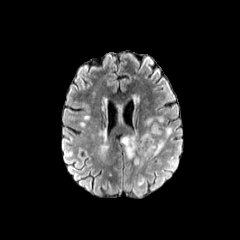
FLAIR magnetic resonance.
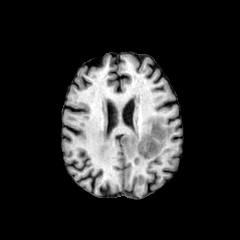
T1-weighted magnetic resonance.
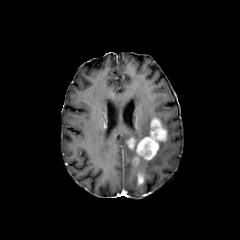
Post-contrast T1-weighted MRI.
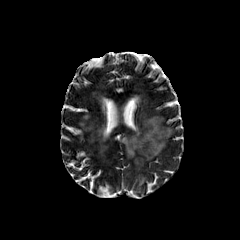
T2-weighted MRI of the same slice.
240x240
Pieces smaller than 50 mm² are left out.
The 4 largest peritumoral edema regions are bounded by (121, 133, 139, 158), (163, 127, 172, 138), (155, 141, 165, 155), (145, 117, 163, 125). The 3 largest enhancing tumor regions are bounded by (126, 137, 135, 149), (136, 118, 166, 159), (138, 174, 143, 184).